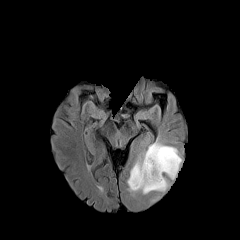
FLAIR MR.
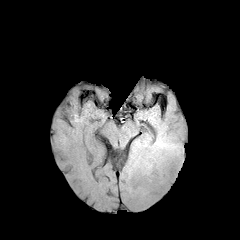
T1-weighted MRI.
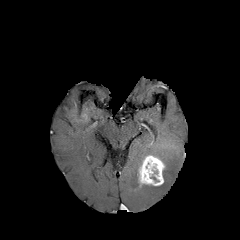
Post-contrast T1-weighted MR image.
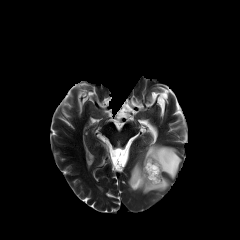
T2-weighted MRI of the same slice.
Head. Image size 240x240.
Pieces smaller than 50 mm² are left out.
• peritumoral edema: <bbox>127, 139, 182, 194</bbox>
• enhancing tumor: <bbox>137, 155, 165, 186</bbox>
• necrotic tumor core: <bbox>152, 163, 158, 175</bbox>